240x240 px. Head. Axial slice. Slice 70/155.
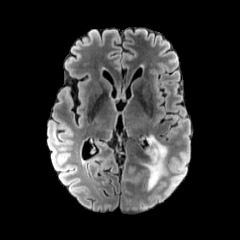
FLAIR MRI.
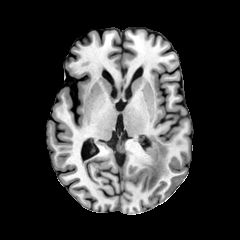
Same slice, T1-weighted MRI.
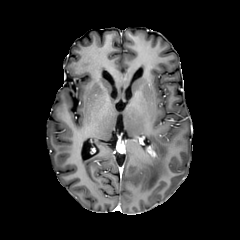
Post-contrast T1-weighted magnetic resonance.
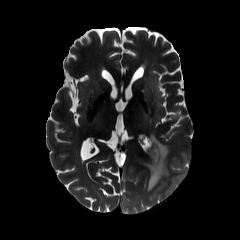
T2-weighted MR of the same slice.
{"enhancing_tumor": ["region(146, 146, 156, 157)"], "peritumoral_edema": ["region(141, 135, 167, 190)"]}